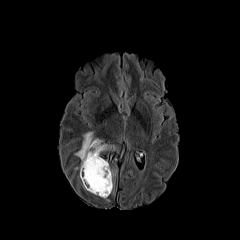
FLAIR MR.
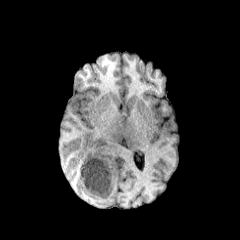
T1-weighted MR of the same slice.
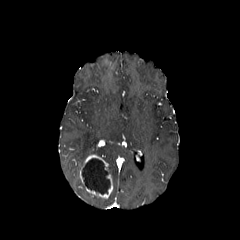
Post-contrast T1-weighted magnetic resonance.
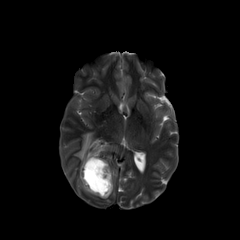
T2-weighted MRI.
Head; Axial plane; Image size 240x240
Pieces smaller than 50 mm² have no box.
peritumoral edema: bbox(75, 132, 115, 165)
necrotic tumor core: bbox(82, 158, 110, 194)
enhancing tumor: bbox(79, 154, 113, 198)